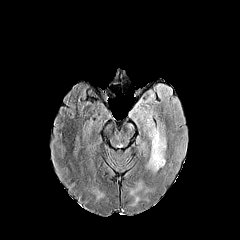
FLAIR MRI.
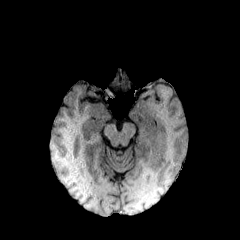
Same slice, T1-weighted MR.
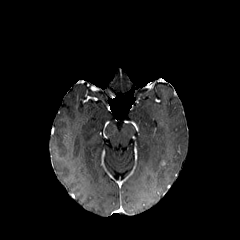
Post-contrast T1-weighted MR.
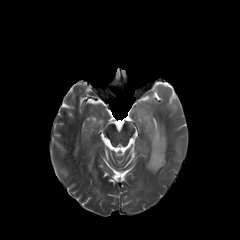
T2-weighted MR.
Brain. 240x240 px. Axial plane.
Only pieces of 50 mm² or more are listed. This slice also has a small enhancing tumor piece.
The peritumoral edema lies within (x1=133, y1=103, x2=166, y2=173).